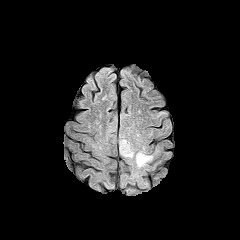
FLAIR MRI.
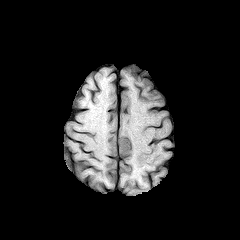
T1-weighted MR image.
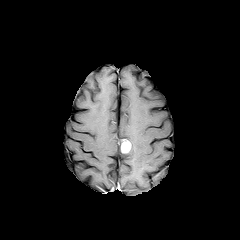
Post-contrast T1-weighted MRI.
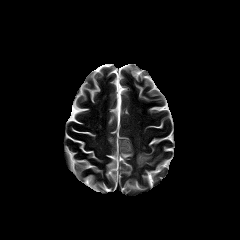
Same slice, T2-weighted MR image.
Brain
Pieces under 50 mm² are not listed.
peritumoral edema: [119,136,134,157], [136,151,152,167] | enhancing tumor: [121,139,131,153]